Brain | Image size 240x240
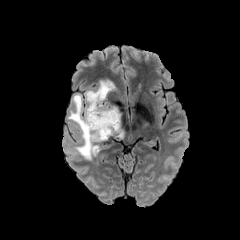
FLAIR MR image.
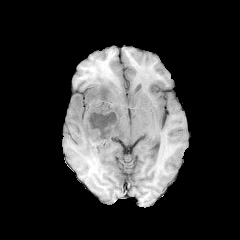
T1-weighted MRI.
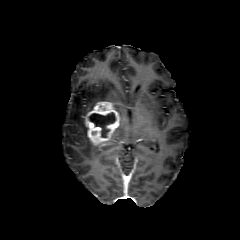
Post-contrast T1-weighted MRI.
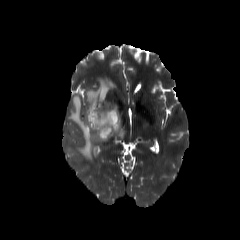
T2-weighted MRI of the same slice.
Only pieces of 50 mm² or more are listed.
necrotic tumor core at [x1=89, y1=112, x2=115, y2=137]
peritumoral edema at [x1=114, y1=120, x2=123, y2=137], [x1=67, y1=79, x2=114, y2=160], [x1=67, y1=143, x2=75, y2=156]
enhancing tumor at [x1=85, y1=101, x2=120, y2=146]